Axial plane | Brain
FLAIR MRI.
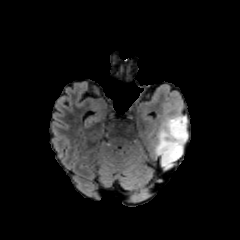
T1-weighted magnetic resonance.
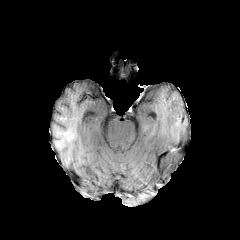
Post-contrast T1-weighted MRI.
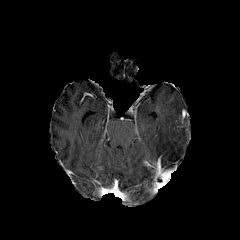
T2-weighted MR.
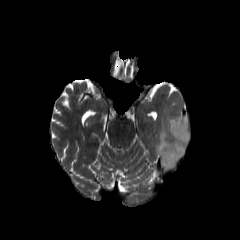
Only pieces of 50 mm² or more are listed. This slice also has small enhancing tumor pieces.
peritumoral edema at [154, 114, 188, 169]